Image width 240 mm, 1.00 mm slice spacing, Head, Slice 78 of 155
FLAIR MR.
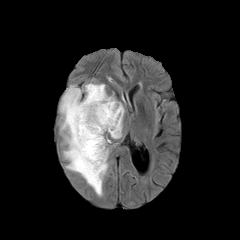
T1-weighted MR image.
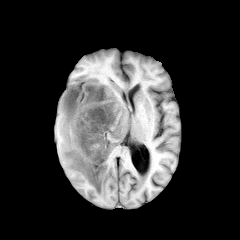
Post-contrast T1-weighted magnetic resonance.
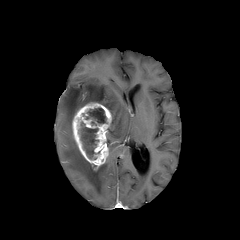
T2-weighted MRI.
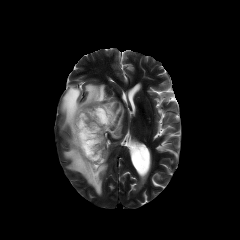
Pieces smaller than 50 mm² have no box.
<segmentation>
  <peritumoral_edema>{"x1": 60, "y1": 83, "x2": 124, "y2": 195}</peritumoral_edema>
  <necrotic_tumor_core>{"x1": 88, "y1": 108, "x2": 105, "y2": 123}, {"x1": 81, "y1": 122, "x2": 98, "y2": 158}</necrotic_tumor_core>
  <enhancing_tumor>{"x1": 72, "y1": 102, "x2": 112, "y2": 170}</enhancing_tumor>
</segmentation>